Axial plane, 240x240
FLAIR MR image.
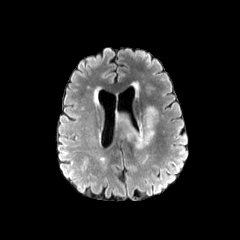
T1-weighted MRI.
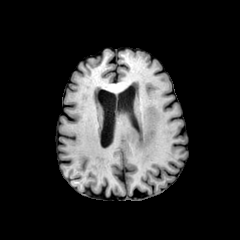
Post-contrast T1-weighted MR.
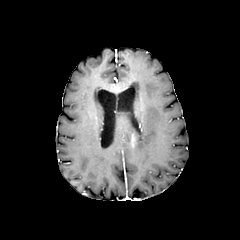
T2-weighted magnetic resonance.
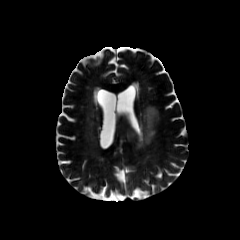
Findings:
- enhancing tumor: <box>130,134,135,149</box>
- peritumoral edema: <box>117,106,158,148</box>